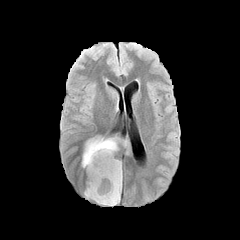
FLAIR magnetic resonance.
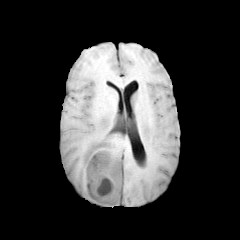
T1-weighted MR image.
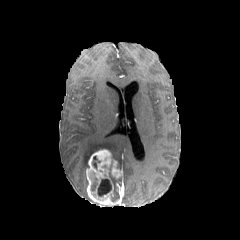
Post-contrast T1-weighted MRI.
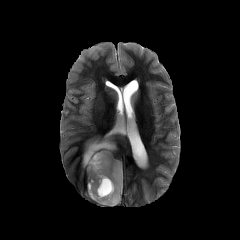
Same slice, T2-weighted MR.
Head, 240x240
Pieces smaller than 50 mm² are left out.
The 2 largest peritumoral edema regions appear at bbox(111, 177, 122, 198); bbox(82, 135, 132, 167). The 2 largest necrotic tumor core regions appear at bbox(93, 156, 100, 168); bbox(97, 178, 111, 196). The enhancing tumor appears at bbox(86, 149, 122, 206).